Image size 240x240
FLAIR MR image.
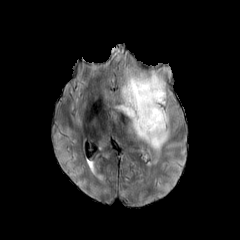
T1-weighted MR.
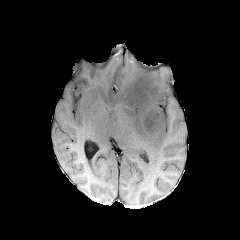
Post-contrast T1-weighted MR.
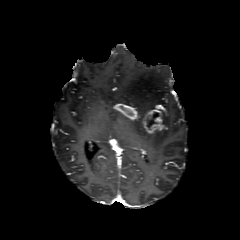
T2-weighted MRI.
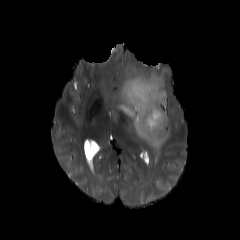
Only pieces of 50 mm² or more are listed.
necrotic tumor core: x1=146 y1=112 x2=159 y2=127
enhancing tumor: x1=142 y1=109 x2=166 y2=133, x1=114 y1=104 x2=139 y2=120
peritumoral edema: x1=117 y1=71 x2=169 y2=151